240x240 px. Slice index 48.
FLAIR MRI.
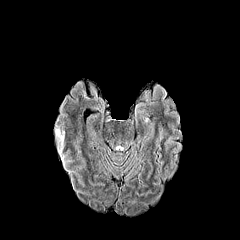
T1-weighted MRI.
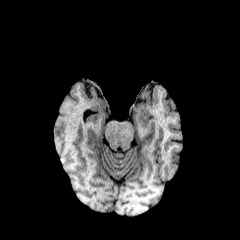
Post-contrast T1-weighted MRI.
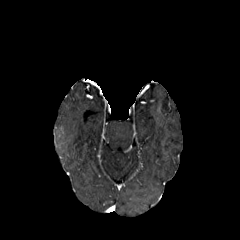
T2-weighted MR image.
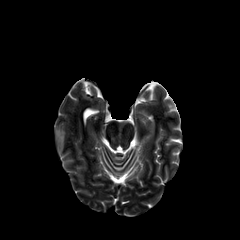
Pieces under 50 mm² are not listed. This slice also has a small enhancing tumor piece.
{
  "peritumoral_edema": [
    "left=55, top=128, right=64, bottom=144"
  ]
}